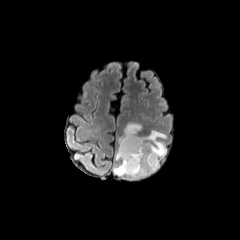
FLAIR MR image.
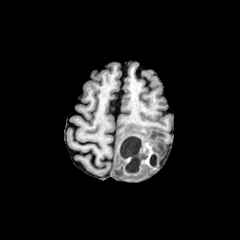
T1-weighted MRI of the same slice.
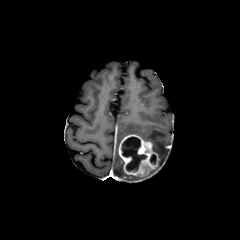
Post-contrast T1-weighted magnetic resonance.
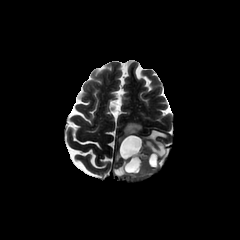
T2-weighted MR image of the same slice.
Axial plane. Head.
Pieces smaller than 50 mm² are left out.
The enhancing tumor is at [118, 134, 158, 176]. 2 necrotic tumor core regions appear at [150, 154, 156, 164], [121, 137, 147, 171]. The 3 largest peritumoral edema regions are located at [113, 160, 144, 179], [118, 122, 142, 144], [140, 130, 166, 175].